Axial slice
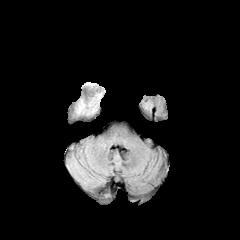
FLAIR magnetic resonance.
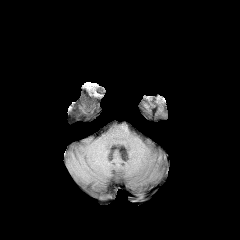
T1-weighted MRI of the same slice.
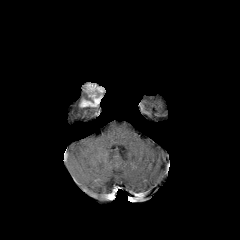
Same slice, post-contrast T1-weighted MRI.
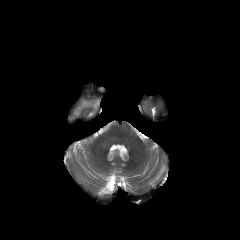
T2-weighted MR image of the same slice.
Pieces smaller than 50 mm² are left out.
The 2 largest peritumoral edema regions are bounded by region(82, 84, 101, 98); region(75, 101, 97, 115). The largest enhancing tumor region appears at region(79, 88, 103, 109).